Brain | Axial view
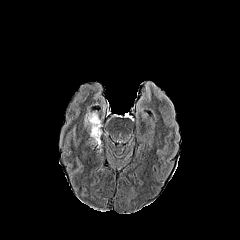
FLAIR MR image.
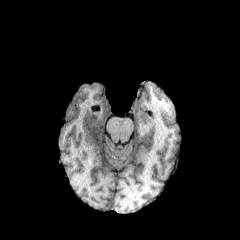
T1-weighted MR.
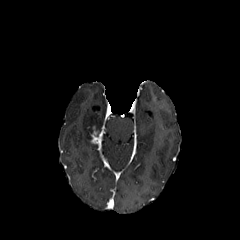
Post-contrast T1-weighted magnetic resonance.
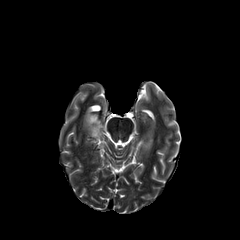
T2-weighted MRI.
enhancing tumor: bounding box x1=91 y1=126 x2=98 y2=144
peritumoral edema: bounding box x1=84 y1=113 x2=101 y2=136